FLAIR MRI.
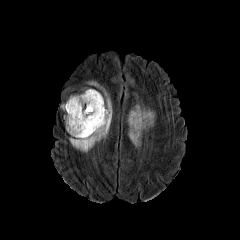
T1-weighted MRI.
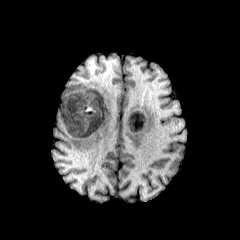
Post-contrast T1-weighted magnetic resonance.
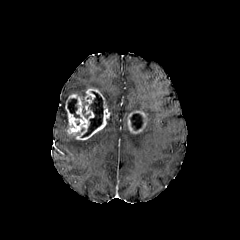
T2-weighted MR.
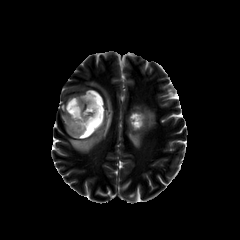
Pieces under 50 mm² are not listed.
peritumoral edema — (128, 131, 142, 147), (69, 81, 112, 152), (130, 104, 155, 128)
enhancing tumor — (65, 88, 109, 140), (127, 110, 148, 134)
necrotic tumor core — (67, 99, 79, 117), (81, 91, 103, 137), (130, 113, 142, 130)